Axial plane; Head
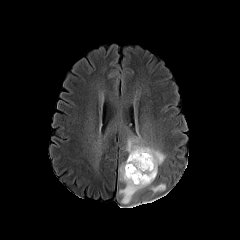
FLAIR magnetic resonance.
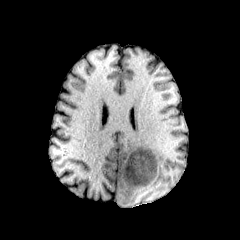
T1-weighted MR image of the same slice.
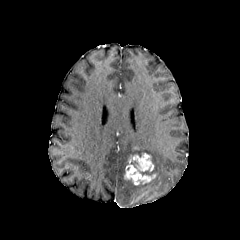
Same slice, post-contrast T1-weighted MRI.
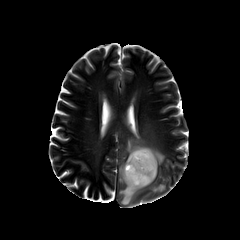
T2-weighted magnetic resonance of the same slice.
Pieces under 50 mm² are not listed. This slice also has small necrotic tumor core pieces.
Findings:
• enhancing tumor: (left=124, top=153, right=156, bottom=185)
• peritumoral edema: (left=118, top=134, right=165, bottom=204)